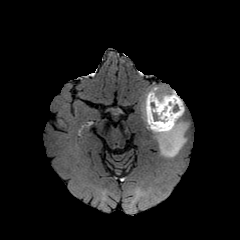
FLAIR MRI.
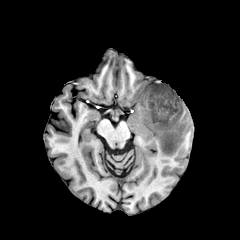
T1-weighted MR image.
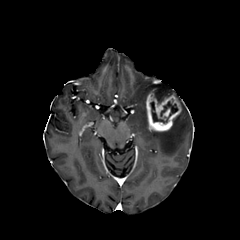
Post-contrast T1-weighted MR.
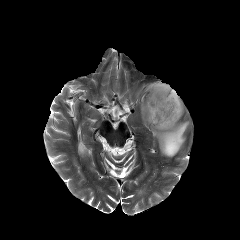
T2-weighted magnetic resonance of the same slice.
240x240 px | Brain | Axial plane
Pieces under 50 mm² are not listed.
Findings:
* necrotic tumor core: 150 101 168 123, 160 101 178 116
* enhancing tumor: 146 89 181 131
* peritumoral edema: 143 100 148 127, 150 84 188 157